Image size 240x240, Slice 73/155, Image width 240 mm
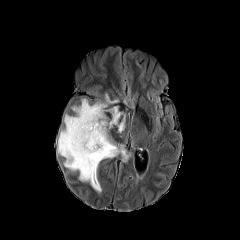
FLAIR MR image.
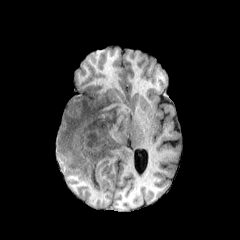
Same slice, T1-weighted MR image.
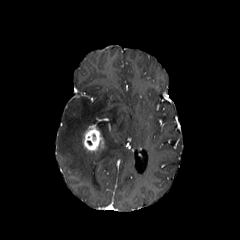
Post-contrast T1-weighted MRI.
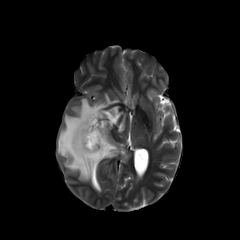
T2-weighted magnetic resonance of the same slice.
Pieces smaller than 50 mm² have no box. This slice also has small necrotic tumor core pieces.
peritumoral edema: bounding box x1=57 y1=94 x2=130 y2=192
enhancing tumor: bounding box x1=82 y1=123 x2=104 y2=151